FLAIR MRI.
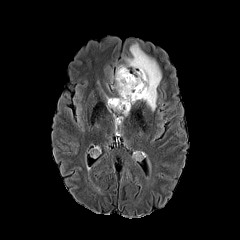
T1-weighted MR image.
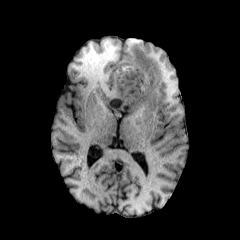
Post-contrast T1-weighted MR image.
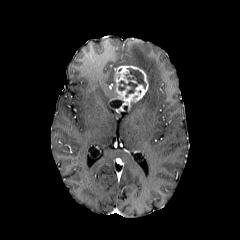
T2-weighted MRI.
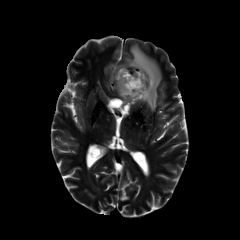
Head; Axial plane
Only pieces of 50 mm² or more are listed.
peritumoral edema = {"x1": 125, "y1": 43, "x2": 161, "y2": 111}
enhancing tumor = {"x1": 109, "y1": 65, "x2": 148, "y2": 112}
necrotic tumor core = {"x1": 127, "y1": 68, "x2": 145, "y2": 88}, {"x1": 118, "y1": 80, "x2": 137, "y2": 93}, {"x1": 109, "y1": 100, "x2": 122, "y2": 109}